240x240 px, Head
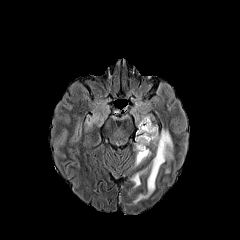
FLAIR MRI.
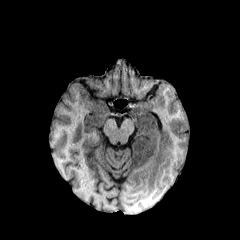
T1-weighted MRI.
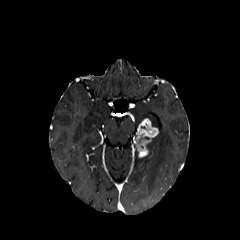
Post-contrast T1-weighted MR of the same slice.
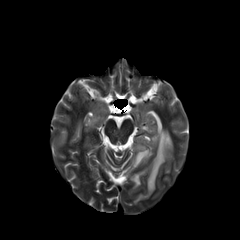
Same slice, T2-weighted MR image.
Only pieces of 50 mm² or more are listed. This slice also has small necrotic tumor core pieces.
peritumoral_edema:
  - [x1=131, y1=168, x2=147, y2=187]
  - [x1=137, y1=112, x2=150, y2=123]
  - [x1=135, y1=152, x2=147, y2=166]
  - [x1=134, y1=129, x2=172, y2=203]
enhancing_tumor:
  - [x1=135, y1=118, x2=158, y2=158]